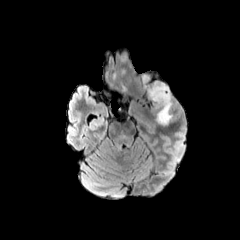
FLAIR MR image.
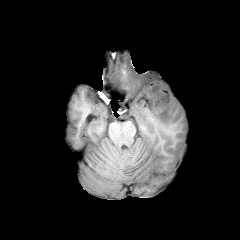
T1-weighted magnetic resonance of the same slice.
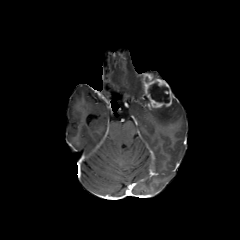
Same slice, post-contrast T1-weighted magnetic resonance.
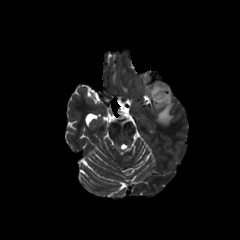
T2-weighted MR image.
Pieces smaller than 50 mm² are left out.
necrotic tumor core: bounding box (148,83,169,102)
enhancing tumor: bounding box (141,72,173,109)
peritumoral edema: bounding box (152,99,173,125)